FLAIR MR image.
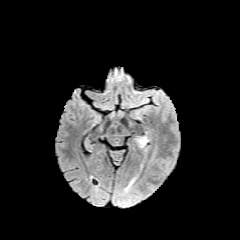
T1-weighted MRI.
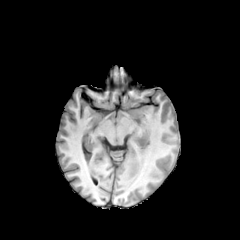
Post-contrast T1-weighted MRI.
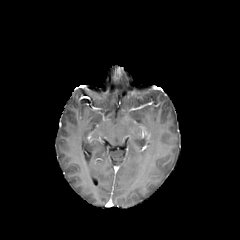
T2-weighted MR.
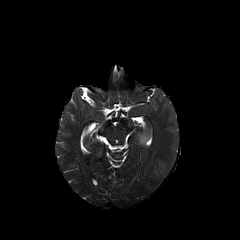
240x240
<segmentation>
  <peritumoral_edema>l=138, t=136, r=147, b=146</peritumoral_edema>
</segmentation>